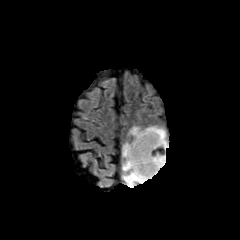
FLAIR MR image.
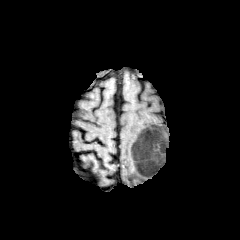
Same slice, T1-weighted MR image.
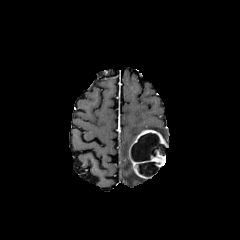
Post-contrast T1-weighted MR image of the same slice.
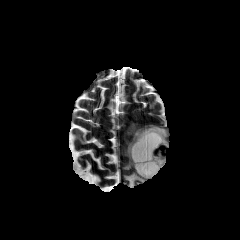
T2-weighted MR.
Axial view; Head
Annotated regions:
- enhancing tumor: (128, 129, 168, 178)
- peritumoral edema: (128, 126, 167, 142), (122, 141, 147, 187)
- necrotic tumor core: (131, 133, 165, 161), (139, 162, 158, 176)